FLAIR magnetic resonance.
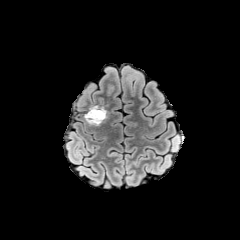
T1-weighted MR image.
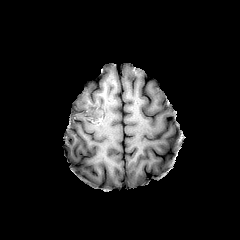
Post-contrast T1-weighted MR.
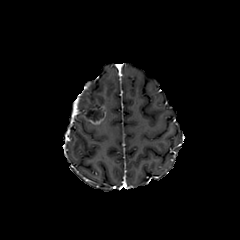
T2-weighted magnetic resonance.
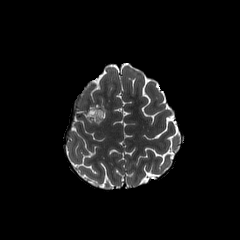
Brain, Axial plane
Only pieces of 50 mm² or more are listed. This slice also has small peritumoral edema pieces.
The enhancing tumor is at box(84, 106, 106, 124). The necrotic tumor core is located at box(86, 110, 103, 121).